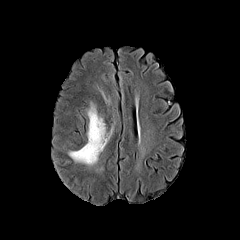
FLAIR MRI.
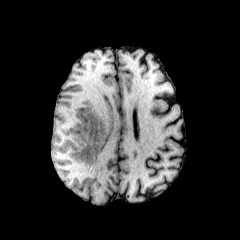
T1-weighted MR.
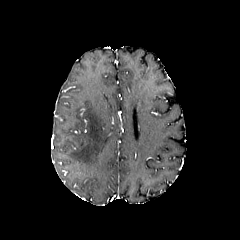
Post-contrast T1-weighted magnetic resonance.
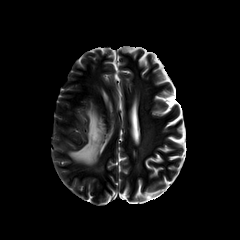
T2-weighted MR of the same slice.
Brain. Axial slice. 240x240.
The peritumoral edema lies within <box>69,103,109,165</box>.